FLAIR magnetic resonance.
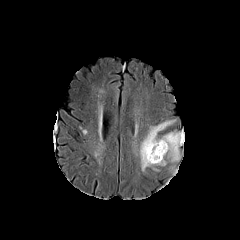
T1-weighted MR image.
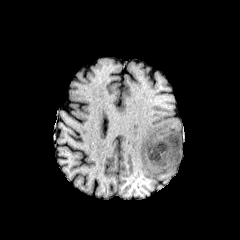
Post-contrast T1-weighted MRI.
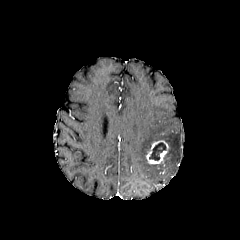
T2-weighted MR.
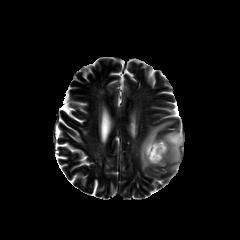
Image size 240x240
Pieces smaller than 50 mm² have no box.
The largest peritumoral edema region lies within bbox(139, 120, 184, 171). The necrotic tumor core appears at bbox(149, 142, 165, 160). The enhancing tumor lies within bbox(146, 140, 168, 165).